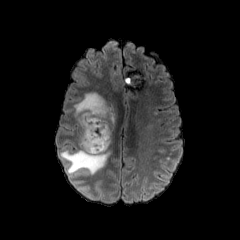
FLAIR MR image.
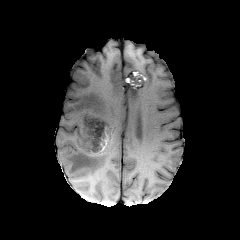
Same slice, T1-weighted MRI.
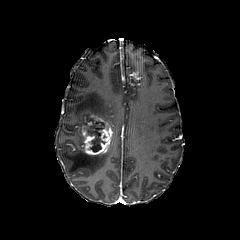
Post-contrast T1-weighted MRI.
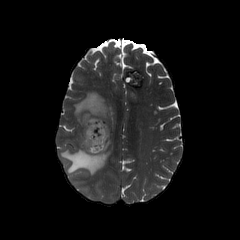
T2-weighted MR.
Head | 240x240
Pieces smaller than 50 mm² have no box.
Segmented structures:
• necrotic tumor core: left=87, top=119, right=105, bottom=152
• peritumoral edema: left=60, top=132, right=114, bottom=175; left=74, top=92, right=119, bottom=134
• enhancing tumor: left=82, top=115, right=112, bottom=154